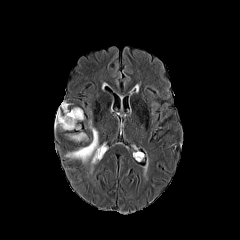
FLAIR MR.
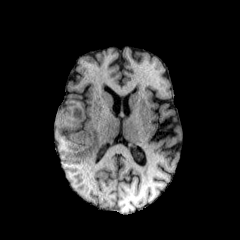
T1-weighted MRI.
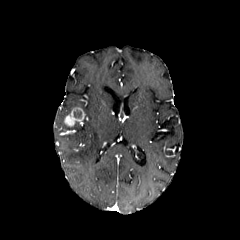
Post-contrast T1-weighted MR image of the same slice.
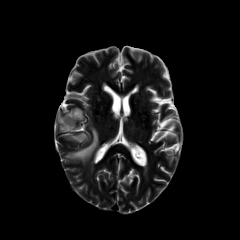
T2-weighted magnetic resonance.
Brain, Axial slice
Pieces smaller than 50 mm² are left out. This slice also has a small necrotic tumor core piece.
3 peritumoral edema regions are located at 66 121 98 162, 70 132 87 141, 55 102 79 129. The enhancing tumor lies within 63 107 84 127.